Head, Axial plane
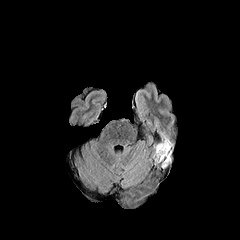
FLAIR magnetic resonance.
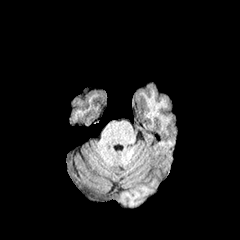
Same slice, T1-weighted MRI.
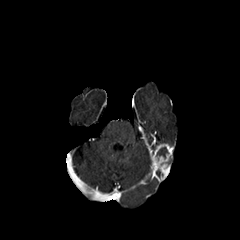
Post-contrast T1-weighted MR image.
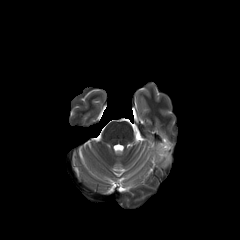
T2-weighted MRI.
enhancing tumor: [153,143,172,168]
necrotic tumor core: [157,147,167,158]
peritumoral edema: [160,132,172,146]